FLAIR MR.
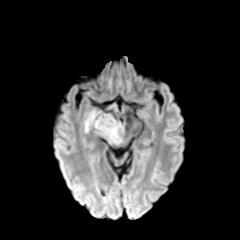
T1-weighted magnetic resonance.
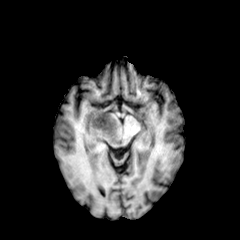
Post-contrast T1-weighted MR.
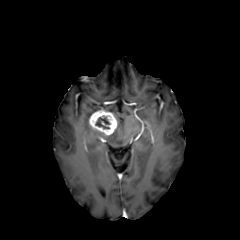
T2-weighted MR image.
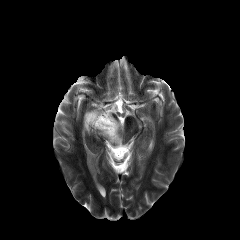
Head
{"peritumoral_edema": ["84 110 97 132", "95 121 123 144"], "enhancing_tumor": ["88 110 117 135"], "necrotic_tumor_core": ["96 117 109 128"]}